Slice index 67
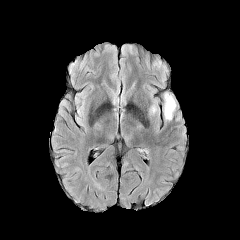
FLAIR MRI.
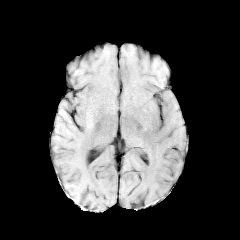
T1-weighted MR image.
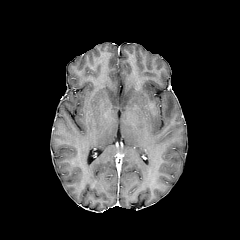
Post-contrast T1-weighted MRI.
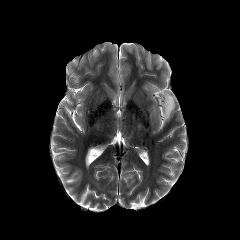
T2-weighted MR.
peritumoral edema: <bbox>163, 92, 176, 121</bbox>, <bbox>149, 104, 158, 115</bbox>